FLAIR magnetic resonance.
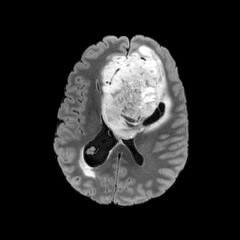
T1-weighted MR image.
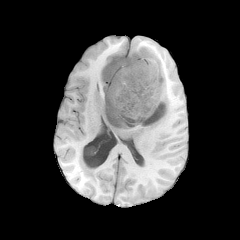
Post-contrast T1-weighted magnetic resonance.
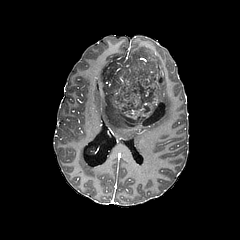
T2-weighted magnetic resonance.
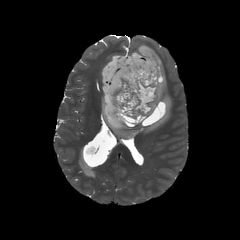
Brain
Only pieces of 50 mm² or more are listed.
* necrotic tumor core: 103,56,168,128
* peritumoral edema: 101,45,171,139